FLAIR MRI.
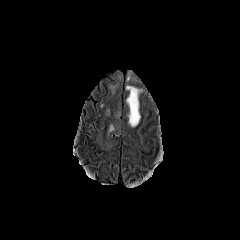
T1-weighted magnetic resonance.
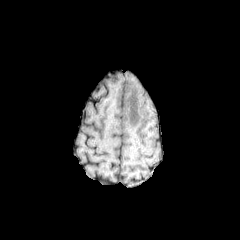
Post-contrast T1-weighted MR.
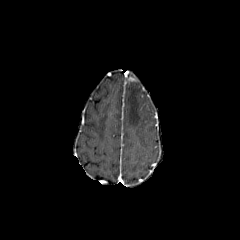
T2-weighted MR image.
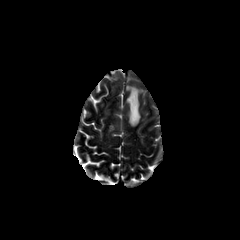
Brain
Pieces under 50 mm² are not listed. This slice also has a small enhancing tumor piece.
peritumoral_edema:
  - left=126, top=84, right=143, bottom=127